FLAIR MR image.
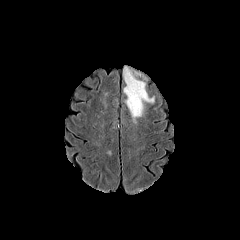
T1-weighted MR image.
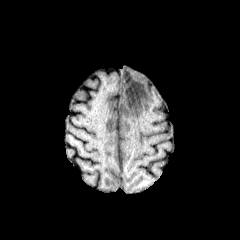
Post-contrast T1-weighted magnetic resonance.
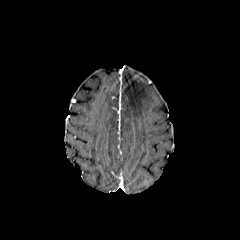
T2-weighted MR image.
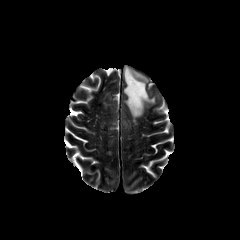
Axial view.
The peritumoral edema is located at bbox=[123, 67, 155, 124].